Image width 240 mm, 1.00 mm slice spacing, Slice index 110, Head
FLAIR MRI.
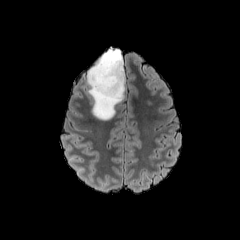
T1-weighted MR.
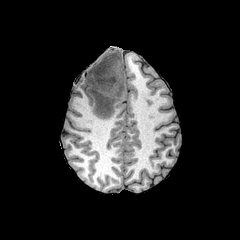
Post-contrast T1-weighted MR image.
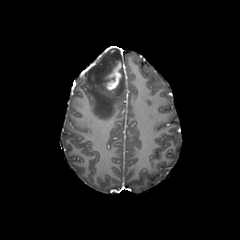
T2-weighted MR image.
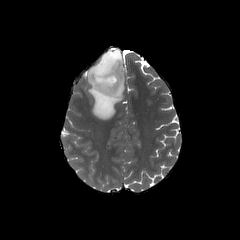
<segmentation>
  <enhancing_tumor>[x1=104, y1=61, x2=121, y2=90]</enhancing_tumor>
  <peritumoral_edema>[x1=87, y1=48, x2=125, y2=120]</peritumoral_edema>
</segmentation>